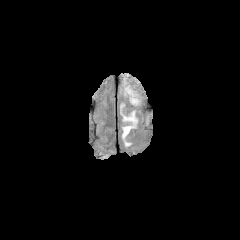
FLAIR MR.
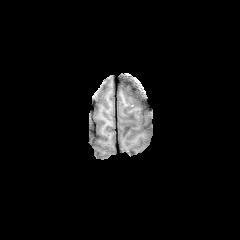
T1-weighted MR image.
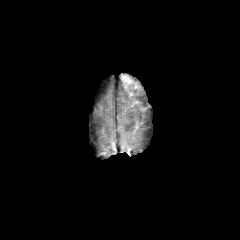
Post-contrast T1-weighted MR image of the same slice.
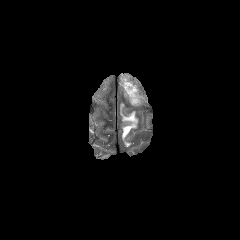
Same slice, T2-weighted MRI.
240x240 | Axial slice
The enhancing tumor is at box=[121, 74, 144, 93]. 2 peritumoral edema regions are bounded by box=[120, 74, 147, 104]; box=[119, 104, 137, 147].